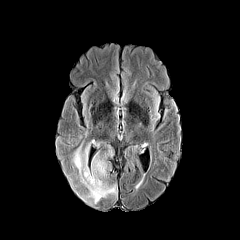
FLAIR MR.
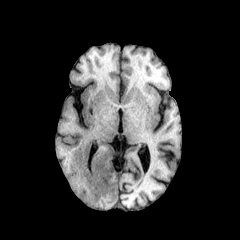
T1-weighted MR image.
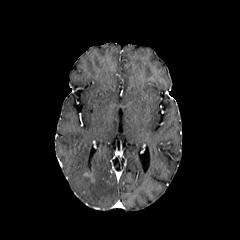
Post-contrast T1-weighted MRI.
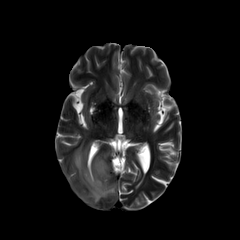
Same slice, T2-weighted magnetic resonance.
240x240 px | Head
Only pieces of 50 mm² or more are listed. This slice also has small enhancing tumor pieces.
The largest peritumoral edema region is bounded by 72,143,117,203.